FLAIR MR.
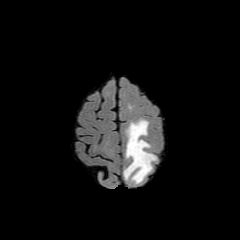
T1-weighted MRI.
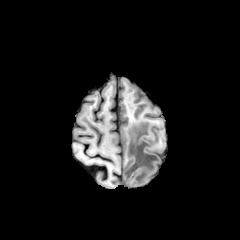
Post-contrast T1-weighted MR.
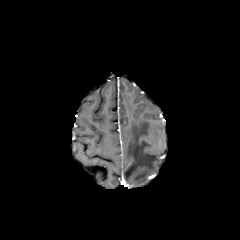
T2-weighted MRI.
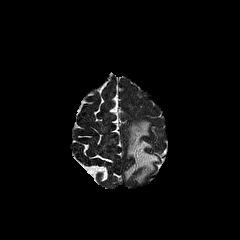
240x240.
peritumoral edema — bbox=[124, 120, 156, 183]